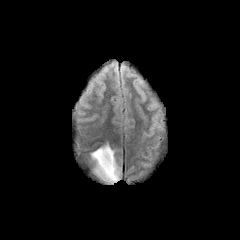
FLAIR MR image.
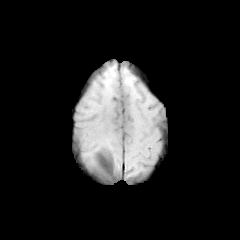
Same slice, T1-weighted MR.
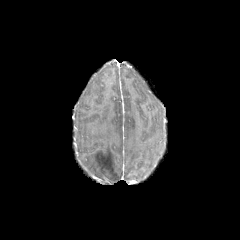
Post-contrast T1-weighted MR image.
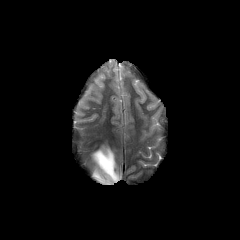
T2-weighted MR image.
240x240
The peritumoral edema is located at x1=91, y1=144, x2=120, y2=184.